Axial view
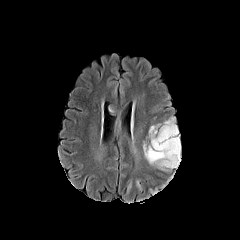
FLAIR MR image.
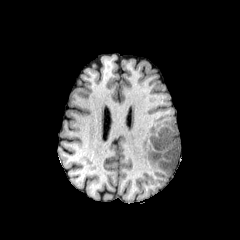
T1-weighted magnetic resonance of the same slice.
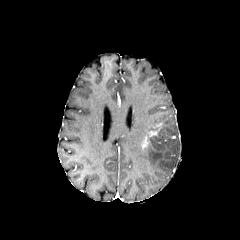
Same slice, post-contrast T1-weighted MR.
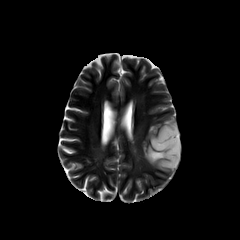
Same slice, T2-weighted MR image.
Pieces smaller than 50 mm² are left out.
The largest peritumoral edema region is at (left=143, top=117, right=180, bottom=171). The largest enhancing tumor region lies within (left=148, top=123, right=161, bottom=136).